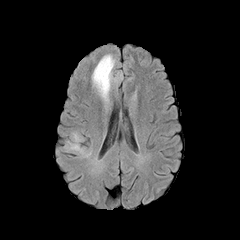
FLAIR MR image.
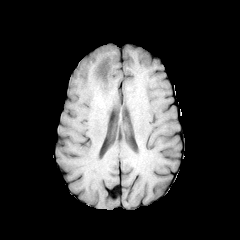
T1-weighted MR of the same slice.
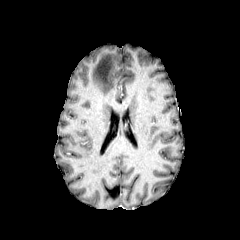
Same slice, post-contrast T1-weighted magnetic resonance.
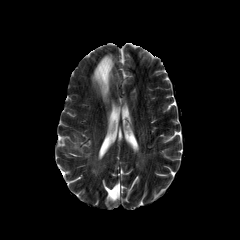
Same slice, T2-weighted MR.
The peritumoral edema lies within 92 54 115 101.